Slice 83/155
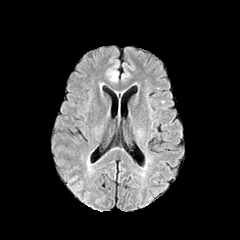
FLAIR MR.
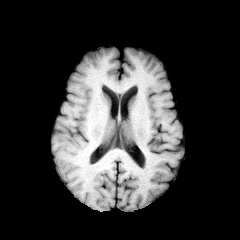
Same slice, T1-weighted magnetic resonance.
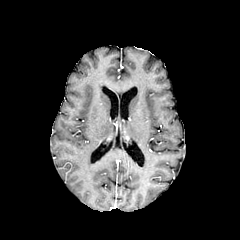
Same slice, post-contrast T1-weighted MR image.
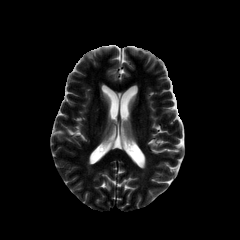
T2-weighted magnetic resonance.
peritumoral edema — rect(112, 72, 118, 80)